FLAIR MRI.
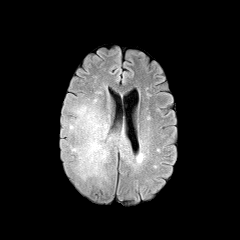
T1-weighted MR image.
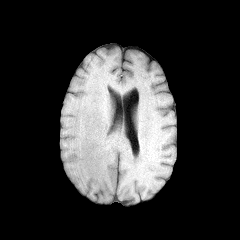
Post-contrast T1-weighted MR image.
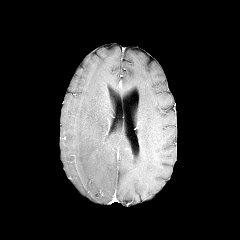
T2-weighted magnetic resonance.
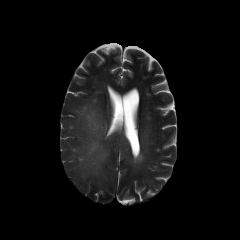
Axial plane
<segmentation>
  <peritumoral_edema>[69, 98, 126, 183]</peritumoral_edema>
</segmentation>